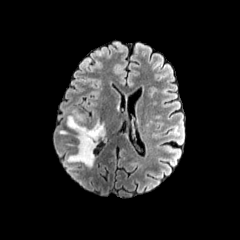
FLAIR magnetic resonance.
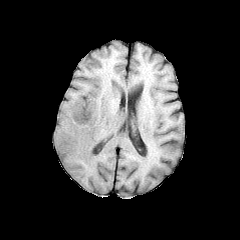
T1-weighted MR.
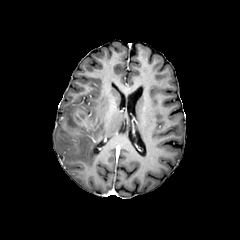
Post-contrast T1-weighted MR image.
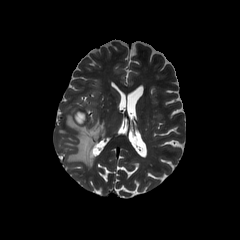
T2-weighted MR of the same slice.
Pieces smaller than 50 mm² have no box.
peritumoral edema: 67:111:105:167
enhancing tumor: 74:110:87:125